Slice index 57 | Image width 240 mm, 1.00 mm slice spacing
FLAIR MR image.
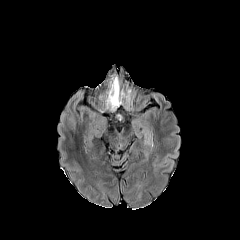
T1-weighted MR image.
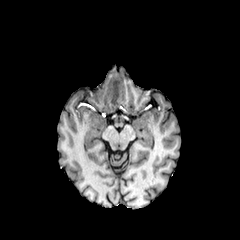
Post-contrast T1-weighted MRI.
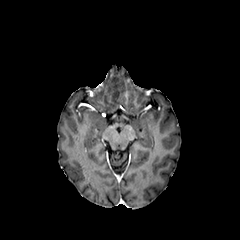
T2-weighted MR.
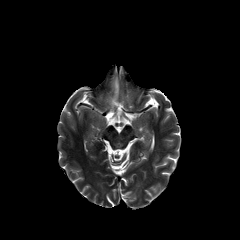
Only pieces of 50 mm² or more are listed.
{"peritumoral_edema": ["107,77,121,108"]}